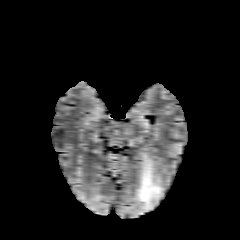
FLAIR MR.
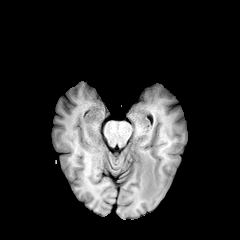
T1-weighted magnetic resonance.
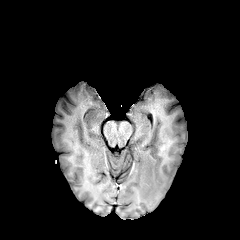
Post-contrast T1-weighted MR.
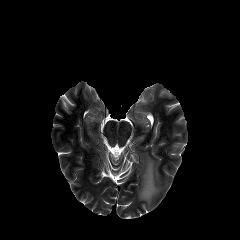
T2-weighted MR.
Head
peritumoral edema at [136, 154, 163, 210]